FLAIR MR image.
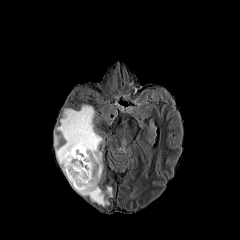
T1-weighted MR image.
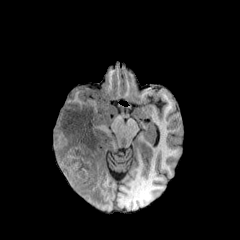
Post-contrast T1-weighted MR.
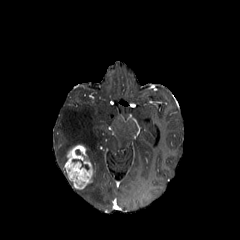
T2-weighted MR image.
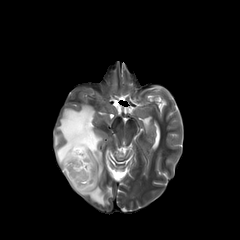
Axial plane | Brain
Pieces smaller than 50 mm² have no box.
necrotic tumor core at 72:159:89:170
peritumoral edema at 106:186:112:196, 54:134:60:146, 56:105:108:205
enhancing tumor at 64:145:94:189